Slice 45 of 155, 240x240 px
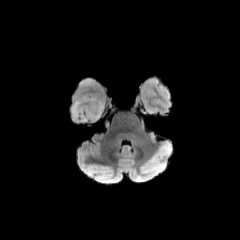
FLAIR MR.
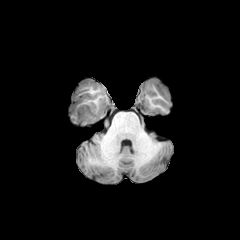
T1-weighted MR image.
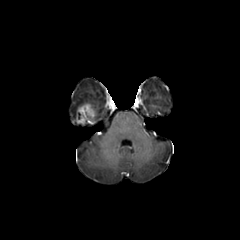
Post-contrast T1-weighted MR image.
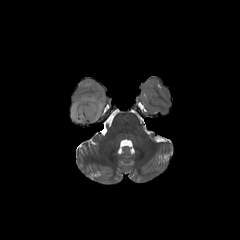
T2-weighted MR image of the same slice.
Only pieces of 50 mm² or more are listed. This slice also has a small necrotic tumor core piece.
2 peritumoral edema regions are located at 80 79 92 87, 71 96 103 121. The enhancing tumor is bounded by 76 103 96 123.